Image size 240x240; Head; Slice index 68
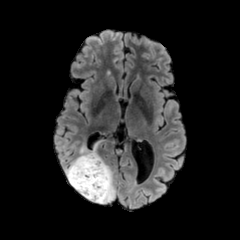
FLAIR MR image.
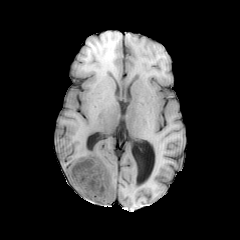
T1-weighted magnetic resonance.
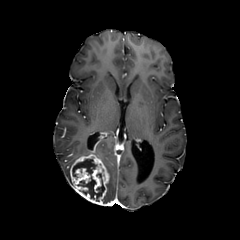
Same slice, post-contrast T1-weighted MR.
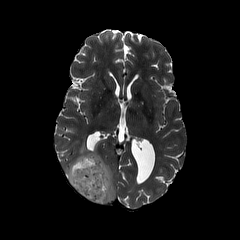
Same slice, T2-weighted MR image.
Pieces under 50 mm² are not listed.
peritumoral edema: region(65, 140, 102, 184); region(99, 156, 115, 204) | necrotic tumor core: region(73, 159, 96, 176); region(77, 173, 104, 201) | enhancing tumor: region(70, 150, 109, 204)